FLAIR MRI.
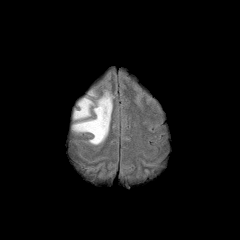
T1-weighted MR image.
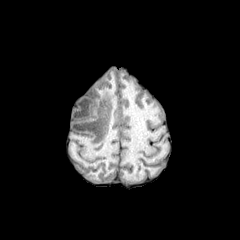
Post-contrast T1-weighted magnetic resonance.
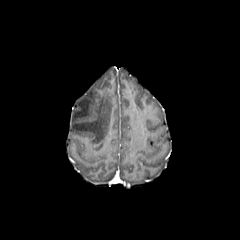
T2-weighted magnetic resonance.
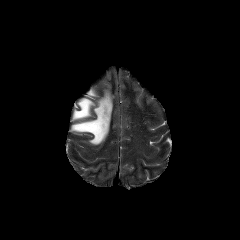
Brain
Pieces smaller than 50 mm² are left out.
peritumoral edema: (left=72, top=90, right=112, bottom=144)